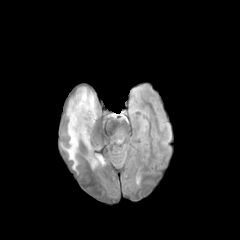
FLAIR MR image.
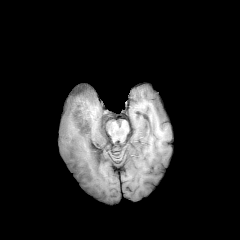
T1-weighted magnetic resonance.
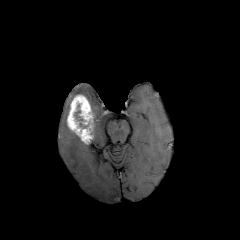
Post-contrast T1-weighted magnetic resonance.
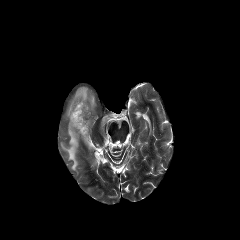
T2-weighted MR image.
Axial view
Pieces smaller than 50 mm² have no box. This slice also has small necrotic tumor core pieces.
enhancing tumor: bounding box [67, 94, 93, 144]
peritumoral edema: bounding box [61, 126, 80, 169], [76, 87, 96, 124]